Slice index 64; Head; Axial slice
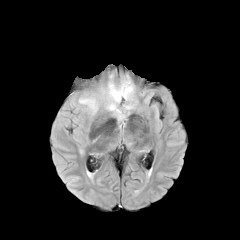
FLAIR magnetic resonance.
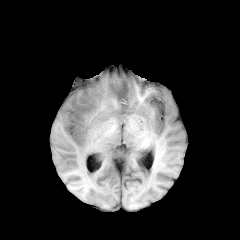
T1-weighted MR of the same slice.
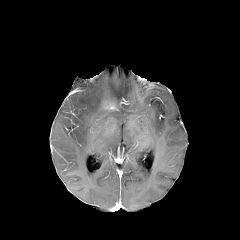
Post-contrast T1-weighted magnetic resonance.
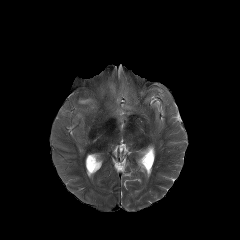
T2-weighted MR of the same slice.
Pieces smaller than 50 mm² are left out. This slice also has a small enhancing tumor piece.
{
  "peritumoral_edema": [
    "<box>78,68,131,117</box>"
  ]
}